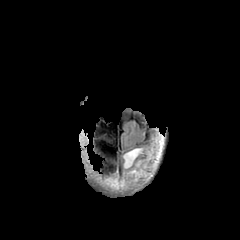
FLAIR MRI.
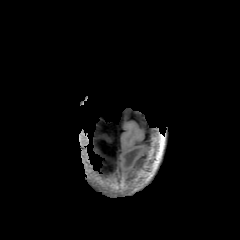
Same slice, T1-weighted MR.
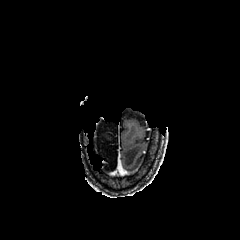
Post-contrast T1-weighted MR image.
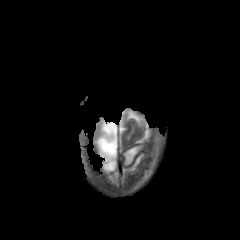
T2-weighted magnetic resonance of the same slice.
Axial plane; 240x240 px; Head
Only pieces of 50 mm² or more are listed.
The 2 largest peritumoral edema regions are located at bbox=[123, 146, 144, 168]; bbox=[128, 159, 140, 175].